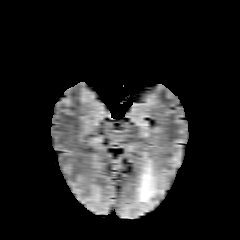
FLAIR MR.
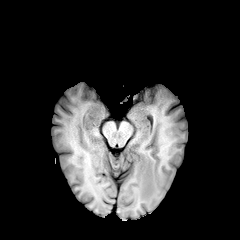
T1-weighted MR image of the same slice.
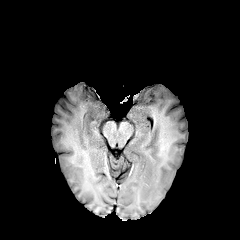
Same slice, post-contrast T1-weighted MR.
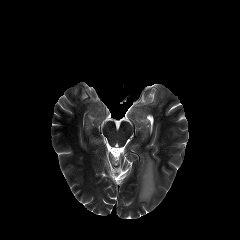
Same slice, T2-weighted magnetic resonance.
Axial view
The peritumoral edema lies within 136,154,162,209.